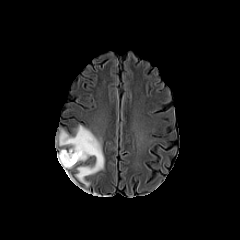
FLAIR MRI.
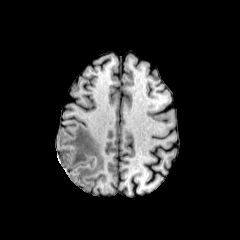
T1-weighted magnetic resonance of the same slice.
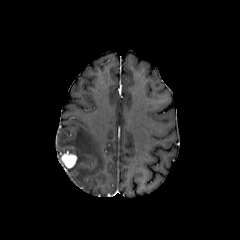
Same slice, post-contrast T1-weighted MRI.
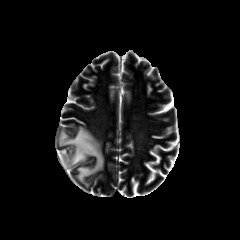
T2-weighted MR of the same slice.
Axial plane, Head
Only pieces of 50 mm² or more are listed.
Segmented structures:
- peritumoral edema: bbox=[58, 125, 104, 186]
- enhancing tumor: bbox=[60, 153, 77, 169]